Image covers 240 mm x 240 mm, Brain, 240x240 px
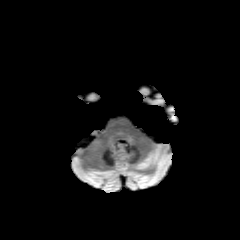
FLAIR MR.
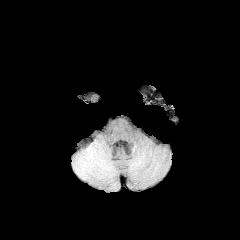
T1-weighted MR image of the same slice.
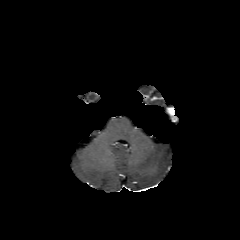
Post-contrast T1-weighted MRI.
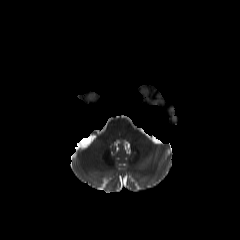
Same slice, T2-weighted MR image.
The enhancing tumor is at x1=166 y1=107 x2=177 y2=121.